Slice index 70, Axial slice
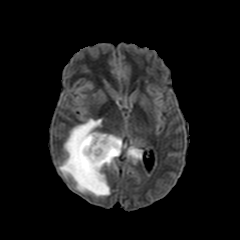
FLAIR MRI.
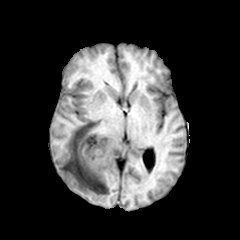
Same slice, T1-weighted magnetic resonance.
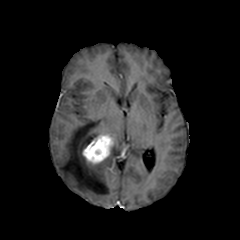
Post-contrast T1-weighted MR image of the same slice.
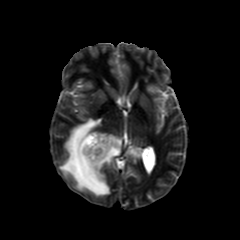
T2-weighted MRI.
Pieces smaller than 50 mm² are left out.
Findings:
• peritumoral edema: x1=59, y1=118, x2=125, y2=196; x1=127, y1=146, x2=142, y2=163
• enhancing tumor: x1=82, y1=134, x2=115, y2=164